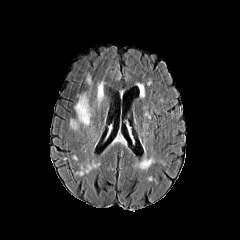
FLAIR MRI.
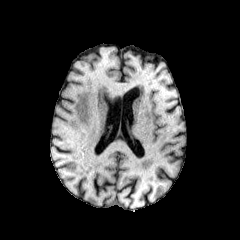
T1-weighted MRI.
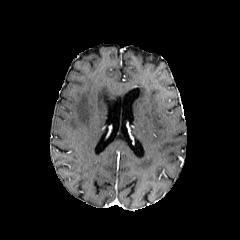
Post-contrast T1-weighted magnetic resonance.
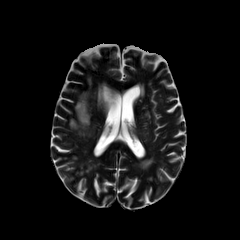
T2-weighted MR image.
Image size 240x240 | Axial plane
peritumoral edema: 94,80,104,107; 70,92,91,129; 86,72,92,85